FLAIR MR.
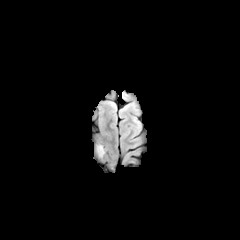
T1-weighted magnetic resonance.
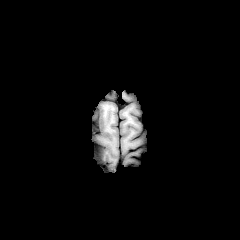
Post-contrast T1-weighted MR image.
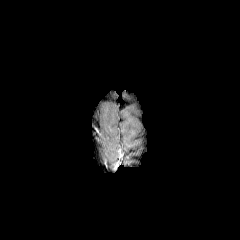
T2-weighted MR.
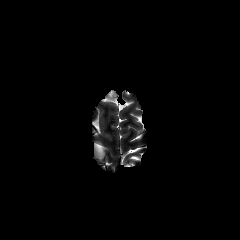
Head; Image size 240x240
{
  "peritumoral_edema": [
    "(95,144,104,158)"
  ]
}